FLAIR MR image.
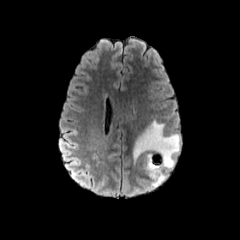
T1-weighted MR.
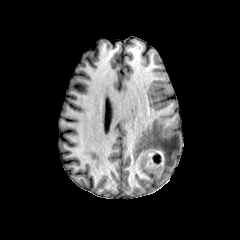
Post-contrast T1-weighted MR image.
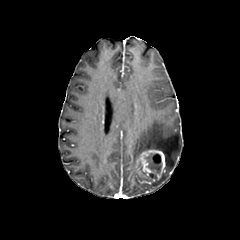
T2-weighted MR image.
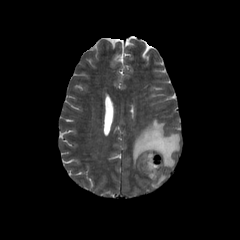
240x240 | Axial slice | Brain
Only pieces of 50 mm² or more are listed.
enhancing_tumor:
  - bbox(136, 148, 166, 181)
necrotic_tumor_core:
  - bbox(146, 153, 162, 173)
peritumoral_edema:
  - bbox(133, 120, 180, 187)